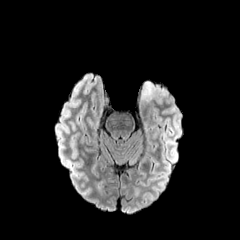
FLAIR MR image.
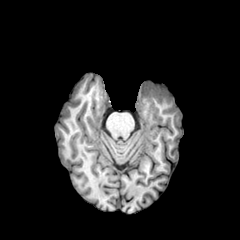
T1-weighted MR image.
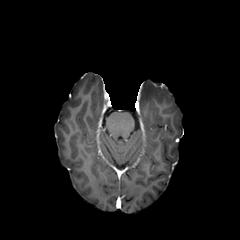
Post-contrast T1-weighted MRI.
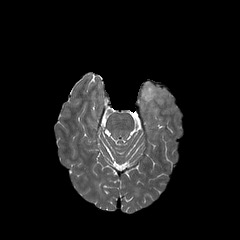
T2-weighted MR image.
Head | Axial slice
peritumoral edema = bbox(141, 82, 164, 102)